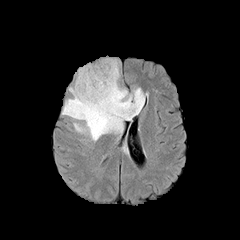
FLAIR MR.
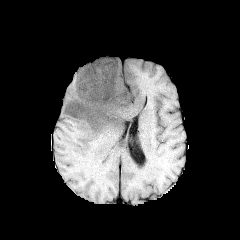
T1-weighted MR.
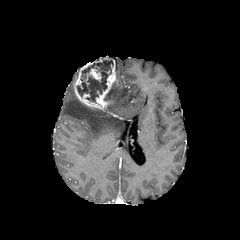
Post-contrast T1-weighted MR.
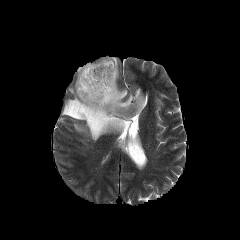
T2-weighted magnetic resonance.
Head
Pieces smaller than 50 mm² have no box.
• peritumoral edema: (left=112, top=58, right=119, bottom=79), (left=62, top=83, right=144, bottom=141)
• enhancing tumor: (left=85, top=69, right=101, bottom=84), (left=74, top=56, right=117, bottom=110)
• necrotic tumor core: (left=77, top=60, right=113, bottom=102)